FLAIR MR image.
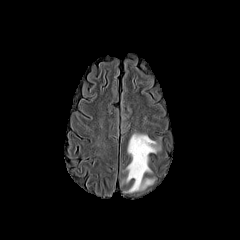
T1-weighted MRI.
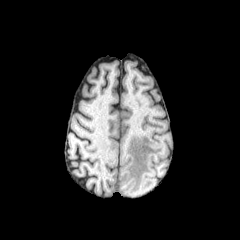
Post-contrast T1-weighted MR.
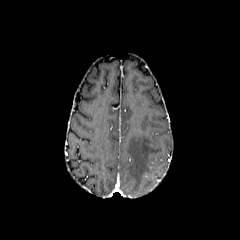
T2-weighted MRI.
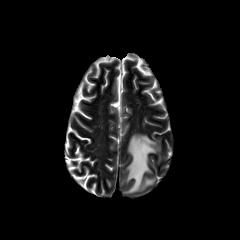
peritumoral edema = bbox=[125, 134, 160, 192]